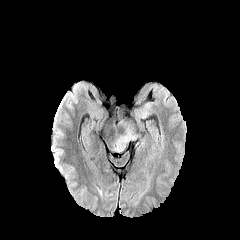
FLAIR MR.
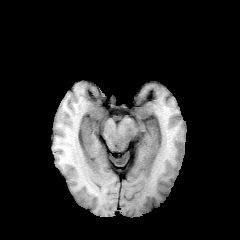
T1-weighted magnetic resonance of the same slice.
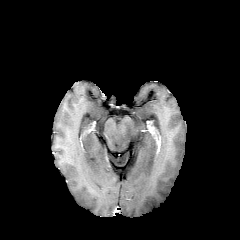
Post-contrast T1-weighted MR image.
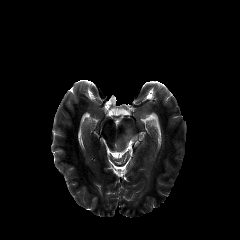
Same slice, T2-weighted MRI.
Axial view
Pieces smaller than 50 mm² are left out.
peritumoral edema = <box>115,122,137,151</box>